Slice index 78
FLAIR MR image.
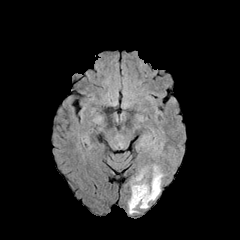
T1-weighted magnetic resonance.
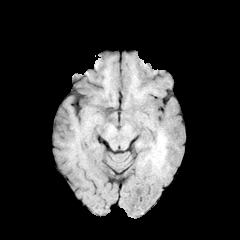
Post-contrast T1-weighted MR.
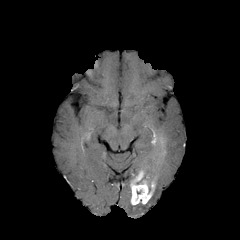
T2-weighted MR.
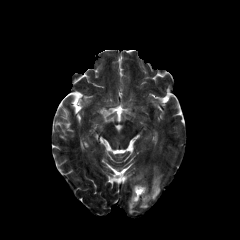
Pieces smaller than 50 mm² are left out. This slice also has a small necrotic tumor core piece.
enhancing_tumor:
  - [130, 171, 156, 205]
peritumoral_edema:
  - [128, 200, 137, 213]
  - [148, 166, 162, 202]